Slice 39/155 | 240x240 px
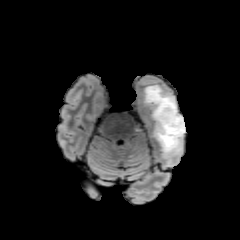
FLAIR MRI.
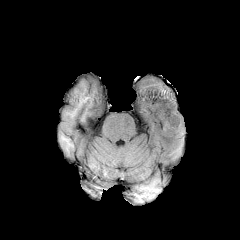
T1-weighted magnetic resonance.
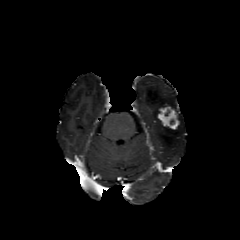
Same slice, post-contrast T1-weighted MRI.
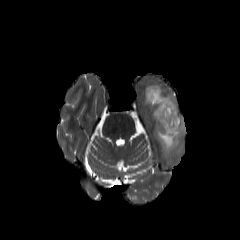
T2-weighted MRI.
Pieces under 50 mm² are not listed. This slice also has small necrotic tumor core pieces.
enhancing tumor — <box>157,106,179,129</box>
peritumoral edema — <box>144,85,185,159</box>